Axial slice, 240x240
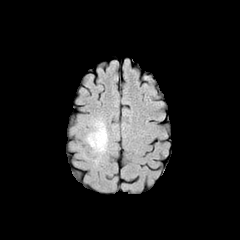
FLAIR MR image.
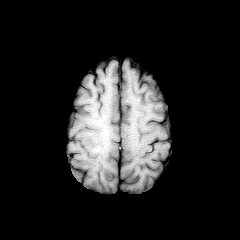
Same slice, T1-weighted MR.
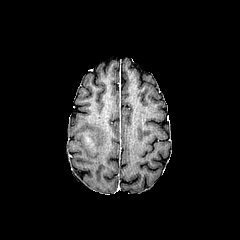
Post-contrast T1-weighted magnetic resonance.
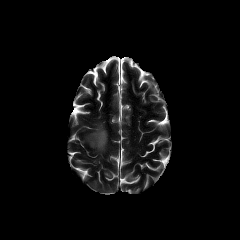
T2-weighted MR image of the same slice.
peritumoral edema = x1=86, y1=121, x2=107, y2=166
enhancing tumor = x1=86, y1=137, x2=94, y2=146